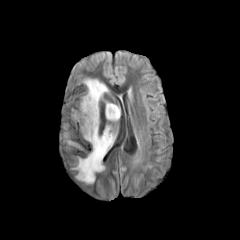
FLAIR MRI.
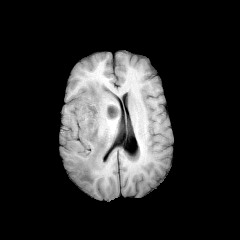
T1-weighted MR.
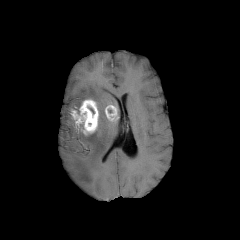
Post-contrast T1-weighted MR.
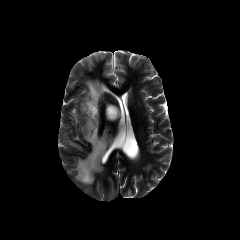
T2-weighted magnetic resonance.
Head | 240x240 px | Axial view
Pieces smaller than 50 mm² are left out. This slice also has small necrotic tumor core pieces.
{
  "peritumoral_edema": [
    "82:79:107:110",
    "74:126:114:183"
  ],
  "enhancing_tumor": [
    "105:105:118:120",
    "71:99:98:135"
  ]
}